Slice index 76; Brain; 240x240
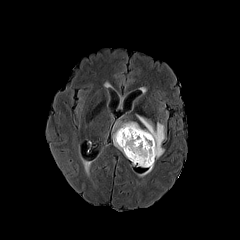
FLAIR magnetic resonance.
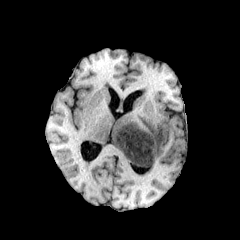
T1-weighted MRI.
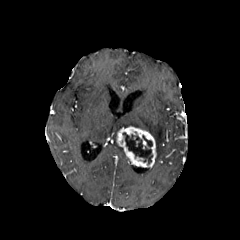
Post-contrast T1-weighted magnetic resonance.
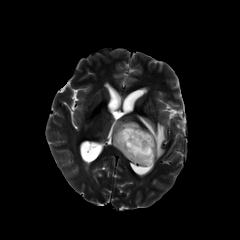
T2-weighted MR image.
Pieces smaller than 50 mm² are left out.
The largest enhancing tumor region is bounded by 116,126,156,167. 2 necrotic tumor core regions are bounded by 142,135,152,147; 123,132,152,164. 2 peritumoral edema regions are located at 113,121,139,155; 137,115,165,160.